240x240 px
FLAIR MR image.
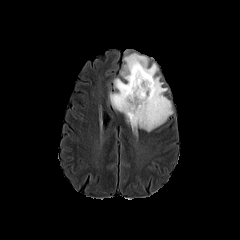
T1-weighted MR.
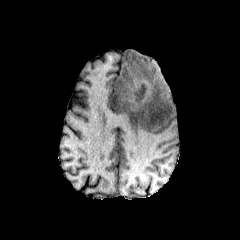
Post-contrast T1-weighted MR image.
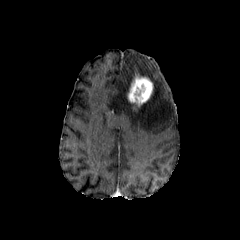
T2-weighted magnetic resonance.
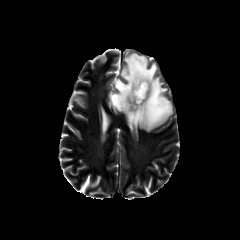
The peritumoral edema appears at [109, 51, 173, 133]. The enhancing tumor lies within [127, 73, 153, 110].